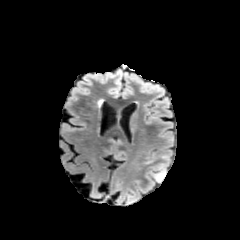
FLAIR MRI.
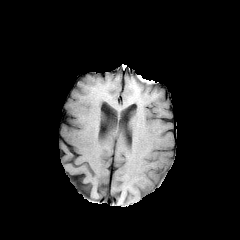
T1-weighted MR.
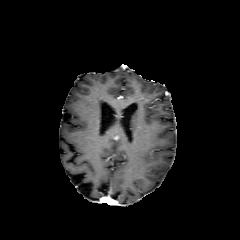
Same slice, post-contrast T1-weighted MR image.
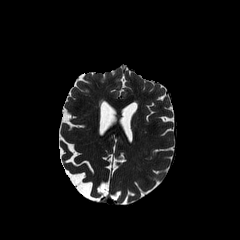
Same slice, T2-weighted MR.
Axial slice | Head | 240x240 px
The peritumoral edema is located at 156:172:164:180.